Axial slice, 240x240, Image width 240 mm, Slice 140 of 155
FLAIR MR.
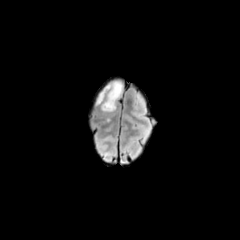
T1-weighted magnetic resonance.
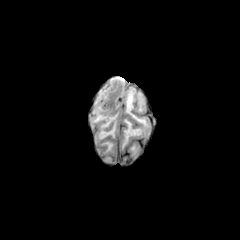
Post-contrast T1-weighted MR image.
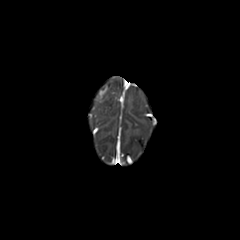
T2-weighted magnetic resonance.
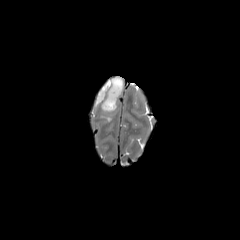
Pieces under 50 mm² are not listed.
enhancing tumor: bbox=[97, 87, 107, 102] | peritumoral edema: bbox=[96, 80, 122, 112]